FLAIR MRI.
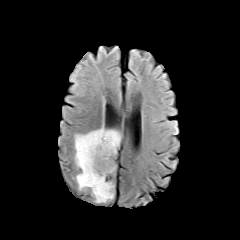
T1-weighted magnetic resonance.
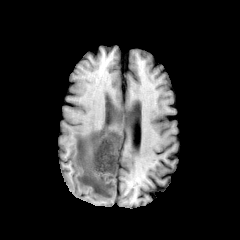
Post-contrast T1-weighted magnetic resonance.
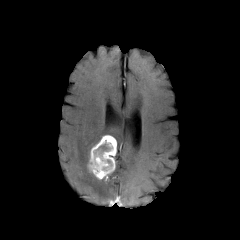
T2-weighted magnetic resonance.
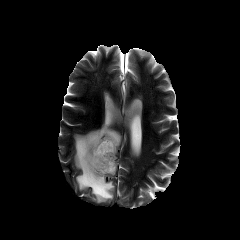
240x240 px, Head
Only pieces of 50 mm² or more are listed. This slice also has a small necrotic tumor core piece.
The enhancing tumor is at (87, 135, 116, 179). The largest peritumoral edema region lies within (74, 124, 121, 202).